240x240
FLAIR MRI.
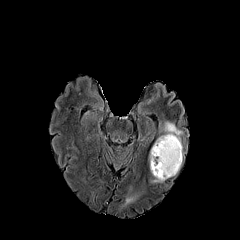
T1-weighted MR image.
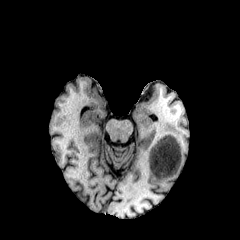
Post-contrast T1-weighted magnetic resonance.
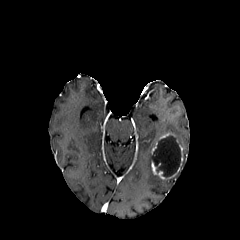
T2-weighted MRI.
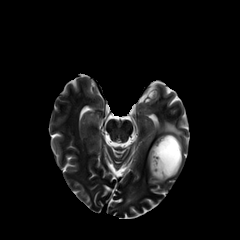
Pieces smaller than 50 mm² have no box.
The largest enhancing tumor region appears at 151:144:182:179. The necrotic tumor core is at 151:135:181:177. 3 peritumoral edema regions appear at 161:122:182:145, 149:152:164:183, 124:195:136:203.